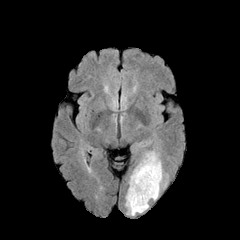
FLAIR magnetic resonance.
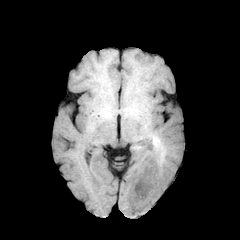
T1-weighted MR image.
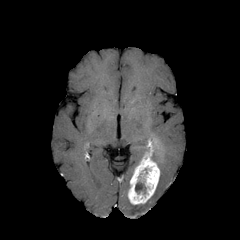
Post-contrast T1-weighted MR.
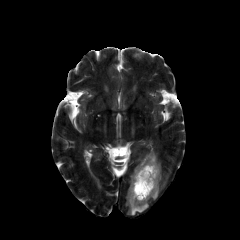
T2-weighted MR.
Head. Axial plane. 240x240 px.
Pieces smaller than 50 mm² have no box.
Findings:
• peritumoral edema: rect(125, 193, 148, 215); rect(151, 150, 167, 200)
• necrotic tumor core: rect(135, 182, 146, 193)
• enhancing tumor: rect(128, 140, 159, 204)